Slice 68 of 155; Image size 240x240
FLAIR MRI.
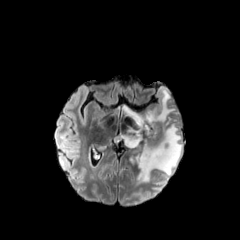
T1-weighted magnetic resonance.
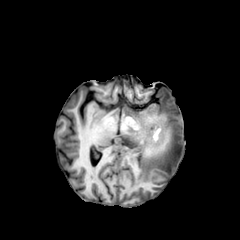
Post-contrast T1-weighted magnetic resonance.
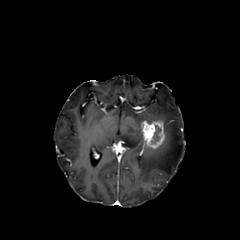
T2-weighted MR image.
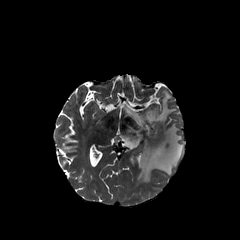
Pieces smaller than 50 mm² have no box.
enhancing tumor — region(141, 120, 165, 149)
peritumoral edema — region(122, 87, 183, 182)
necrotic tumor core — region(151, 125, 160, 142)